FLAIR magnetic resonance.
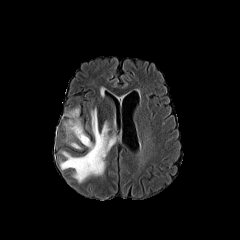
T1-weighted MR.
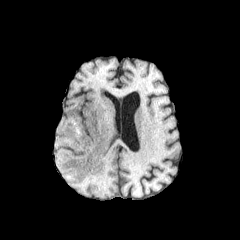
Post-contrast T1-weighted magnetic resonance.
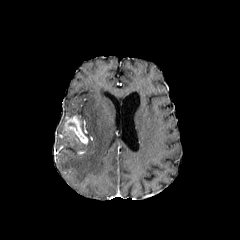
T2-weighted MR.
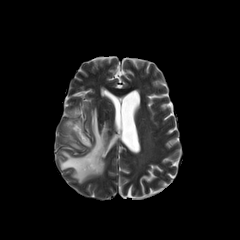
Image size 240x240.
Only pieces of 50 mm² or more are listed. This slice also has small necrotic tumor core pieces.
enhancing tumor: l=64, t=115, r=88, b=145 | peritumoral edema: l=67, t=108, r=79, b=115; l=69, t=142, r=81, b=149; l=59, t=108, r=115, b=182